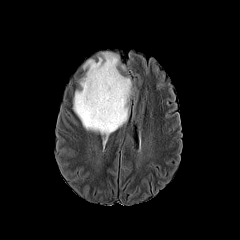
FLAIR magnetic resonance.
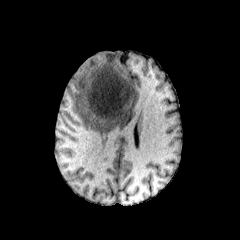
Same slice, T1-weighted MRI.
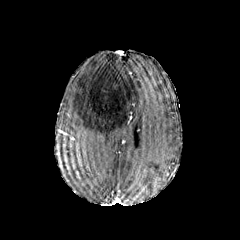
Post-contrast T1-weighted MR of the same slice.
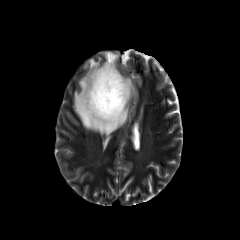
T2-weighted magnetic resonance.
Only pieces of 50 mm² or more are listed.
- peritumoral edema: [73, 52, 132, 137]
- necrotic tumor core: [107, 84, 119, 93]